FLAIR MR.
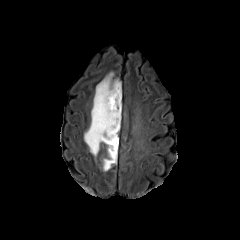
T1-weighted magnetic resonance.
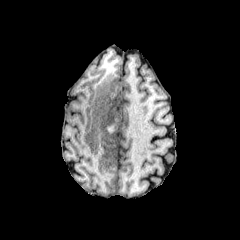
Post-contrast T1-weighted MRI.
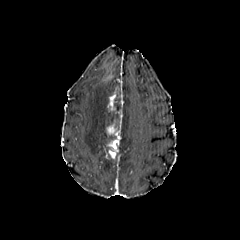
T2-weighted magnetic resonance.
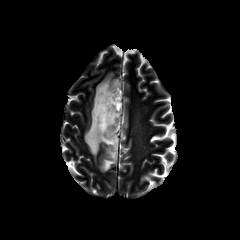
Head, Axial slice
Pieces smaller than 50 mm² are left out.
The 2 largest peritumoral edema regions are located at 101:153:117:171, 84:78:119:157. The largest enhancing tumor region lies within 106:84:122:159. The 2 largest necrotic tumor core regions are bounded by 114:98:120:110, 105:112:119:132.